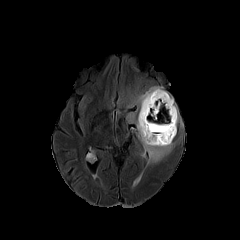
FLAIR MR image.
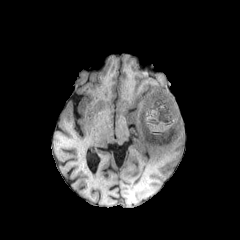
T1-weighted magnetic resonance.
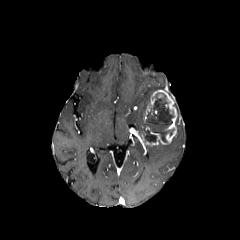
Post-contrast T1-weighted MRI.
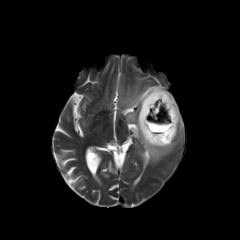
Same slice, T2-weighted MR image.
Head; 240x240
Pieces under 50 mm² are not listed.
necrotic_tumor_core:
  - region(144, 94, 173, 142)
  - region(144, 130, 156, 142)
enhancing_tumor:
  - region(140, 89, 177, 146)
peritumoral_edema:
  - region(127, 86, 163, 137)
  - region(145, 142, 175, 164)